Slice 78 of 155, Axial view
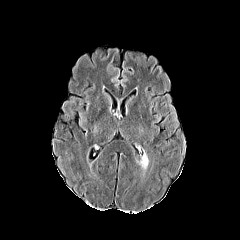
FLAIR MRI.
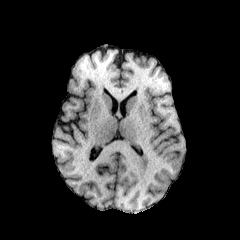
T1-weighted MR image.
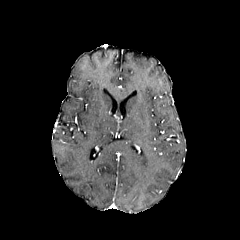
Same slice, post-contrast T1-weighted MR image.
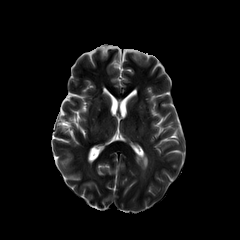
T2-weighted MR image.
peritumoral edema at x1=140, y1=152, x2=148, y2=168